FLAIR MRI.
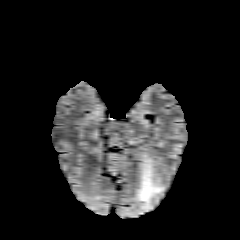
T1-weighted magnetic resonance.
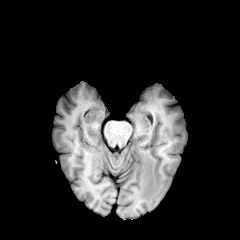
Post-contrast T1-weighted magnetic resonance.
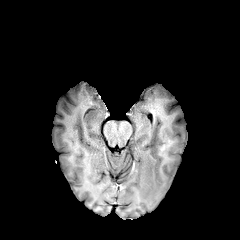
T2-weighted MR.
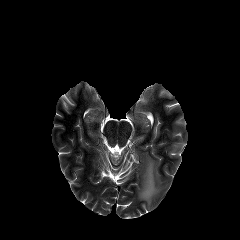
Brain
peritumoral edema — (x1=136, y1=154, x2=164, y2=210)